Axial slice. Slice 54/155. Image width 240 mm. Head.
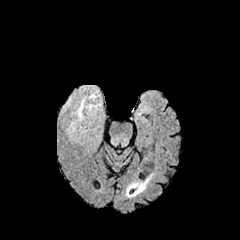
FLAIR MRI.
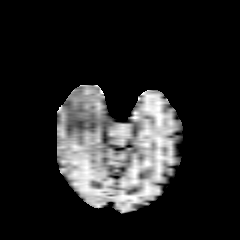
T1-weighted magnetic resonance of the same slice.
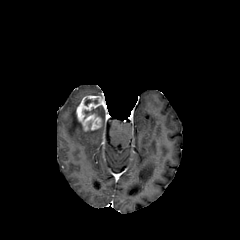
Post-contrast T1-weighted MR.
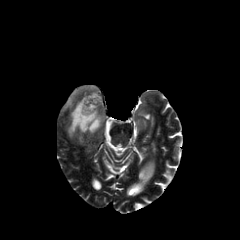
T2-weighted MR.
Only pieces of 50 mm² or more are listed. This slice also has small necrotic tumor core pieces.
Segmented structures:
- enhancing tumor: 76,95,103,131
- peritumoral edema: 63,86,98,110; 67,100,86,137